FLAIR MR image.
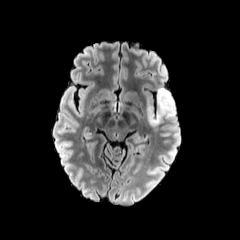
T1-weighted MR image.
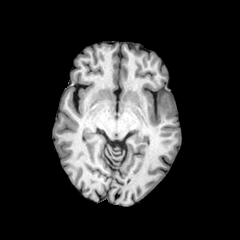
Post-contrast T1-weighted magnetic resonance.
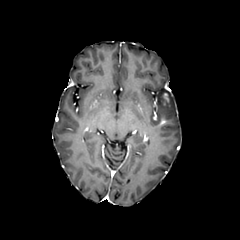
T2-weighted MR.
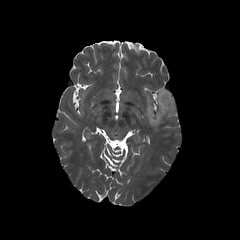
Axial view. Head.
peritumoral edema — {"x1": 146, "y1": 88, "x2": 175, "y2": 126}
enhancing tumor — {"x1": 160, "y1": 91, "x2": 171, "y2": 106}